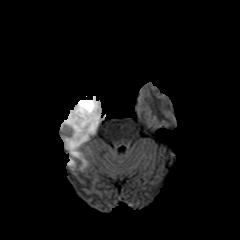
FLAIR MR image.
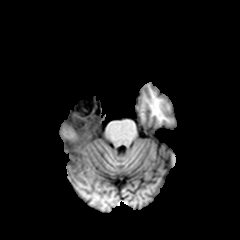
T1-weighted magnetic resonance.
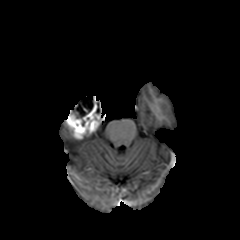
Same slice, post-contrast T1-weighted magnetic resonance.
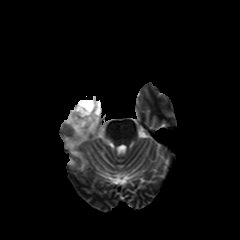
T2-weighted MR.
Head
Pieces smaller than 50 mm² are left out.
<segmentation>
  <enhancing_tumor>65,96,102,139</enhancing_tumor>
  <necrotic_tumor_core>72,100,93,118</necrotic_tumor_core>
  <peritumoral_edema>64,136,88,169; 67,158,75,166</peritumoral_edema>
</segmentation>